Axial slice, Slice index 93, 240x240 px, Brain
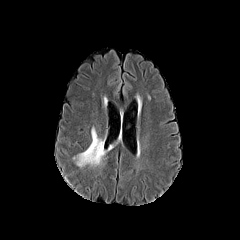
FLAIR MR.
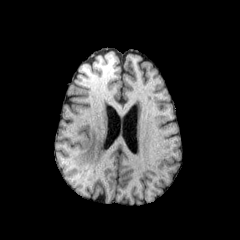
T1-weighted MRI.
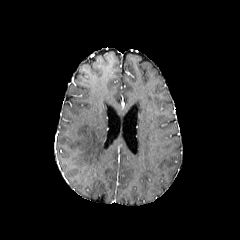
Post-contrast T1-weighted MR of the same slice.
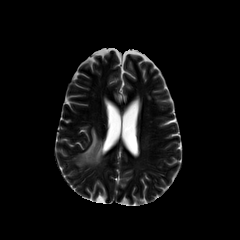
T2-weighted MR image of the same slice.
peritumoral edema — x1=73, y1=127, x2=108, y2=167